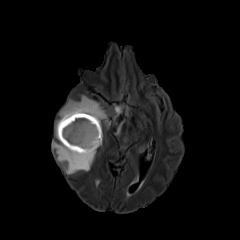
FLAIR MR image.
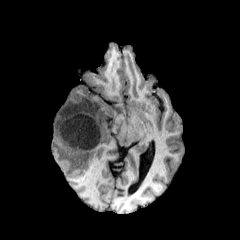
T1-weighted MRI.
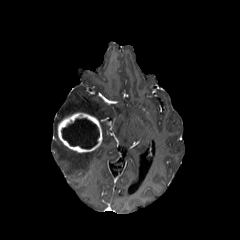
Post-contrast T1-weighted MR image.
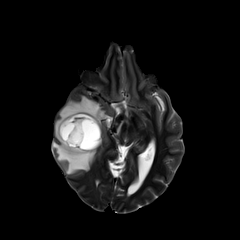
Same slice, T2-weighted magnetic resonance.
Axial plane; Head
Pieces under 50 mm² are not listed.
The 2 largest peritumoral edema regions appear at region(55, 95, 106, 139); region(52, 141, 96, 174). The necrotic tumor core is at region(61, 118, 99, 148). The enhancing tumor is bounded by region(57, 112, 102, 152).